240x240 px, Brain
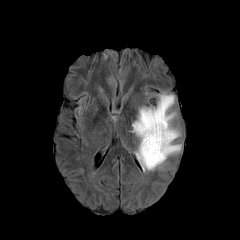
FLAIR MRI.
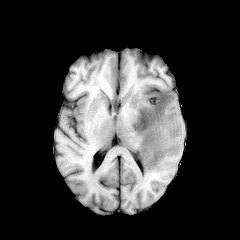
T1-weighted magnetic resonance.
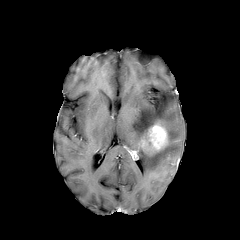
Post-contrast T1-weighted MR.
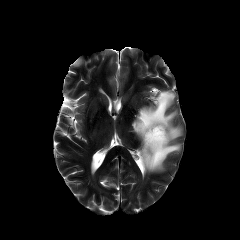
T2-weighted magnetic resonance.
Annotated regions:
- peritumoral edema: <box>132,91,181,171</box>
- enhancing tumor: <box>141,120,168,154</box>